Axial view | Head | 240x240 px
FLAIR MRI.
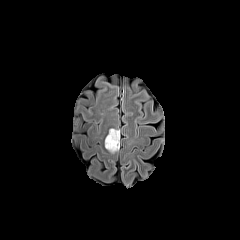
T1-weighted magnetic resonance.
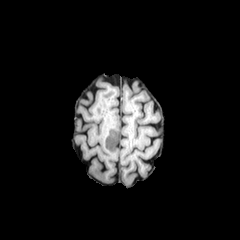
Post-contrast T1-weighted MRI.
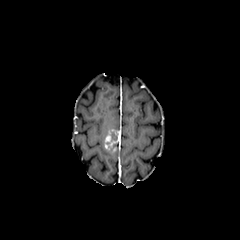
T2-weighted MRI.
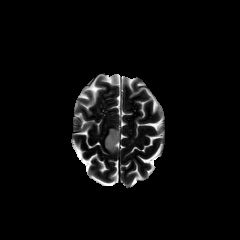
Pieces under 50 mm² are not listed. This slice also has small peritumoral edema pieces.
enhancing tumor — (104, 129, 119, 151)
necrotic tumor core — (111, 131, 116, 141)